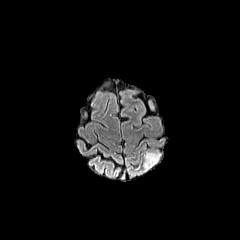
FLAIR magnetic resonance.
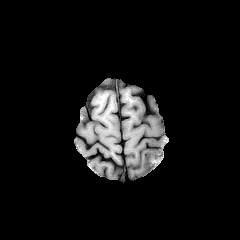
Same slice, T1-weighted MRI.
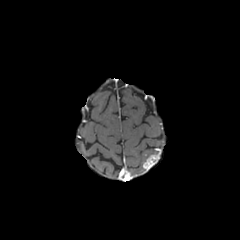
Same slice, post-contrast T1-weighted MR image.
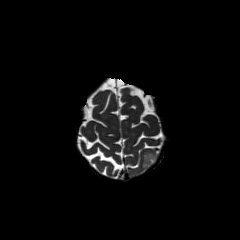
T2-weighted MR image of the same slice.
Axial view, Head, Image size 240x240
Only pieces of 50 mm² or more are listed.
enhancing tumor = 143:155:158:170
peritumoral edema = 144:152:159:162